Head, Slice index 76
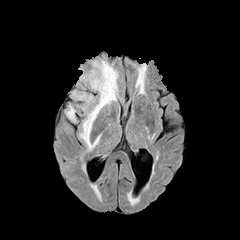
FLAIR MR.
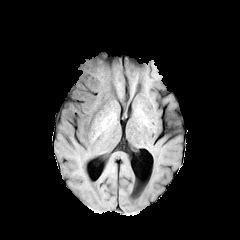
T1-weighted MRI.
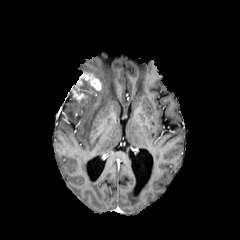
Same slice, post-contrast T1-weighted MRI.
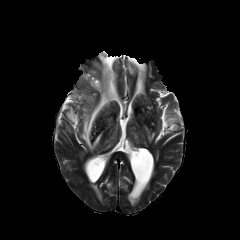
T2-weighted MR image.
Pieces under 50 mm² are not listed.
Annotated regions:
• enhancing tumor: 71 72 101 100
• peritumoral edema: 80 59 117 150, 66 106 75 121, 82 95 94 102